Slice 85/155
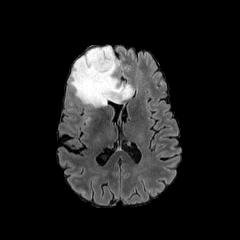
FLAIR MR.
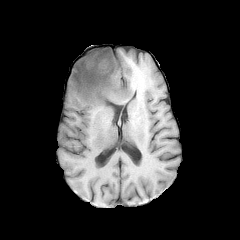
T1-weighted MR image.
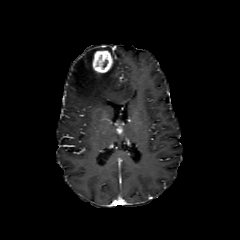
Same slice, post-contrast T1-weighted MR image.
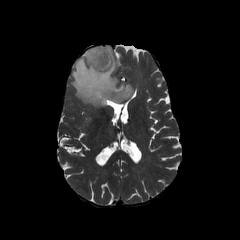
Same slice, T2-weighted MRI.
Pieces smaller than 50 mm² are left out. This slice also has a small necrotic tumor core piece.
Annotated regions:
• peritumoral edema: (69,47,133,107)
• enhancing tumor: (92,50,113,73)